FLAIR MR.
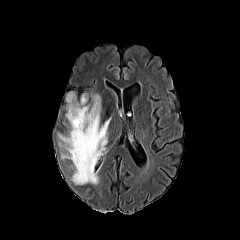
T1-weighted MR.
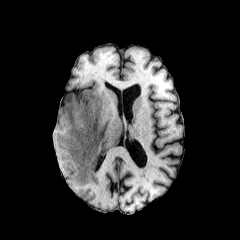
Post-contrast T1-weighted MR image.
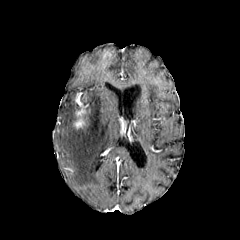
T2-weighted MR.
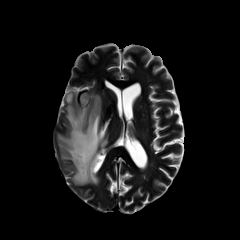
Axial slice | Head | Image size 240x240
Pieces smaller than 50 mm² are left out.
enhancing tumor: [x1=74, y1=99, x2=88, y2=128]
peritumoral edema: [x1=58, y1=93, x2=110, y2=184]